Slice 117/155, Head
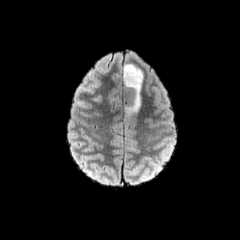
FLAIR MRI.
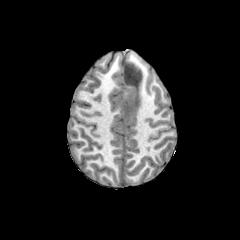
T1-weighted MRI of the same slice.
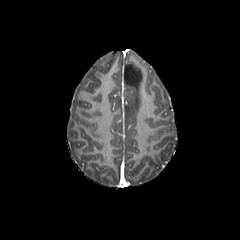
Post-contrast T1-weighted MR image.
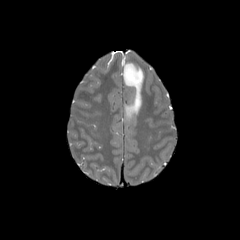
T2-weighted MRI.
peritumoral edema = region(123, 63, 143, 120)